Slice index 70 | Axial slice | Image width 240 mm | 240x240
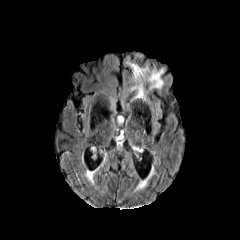
FLAIR MRI.
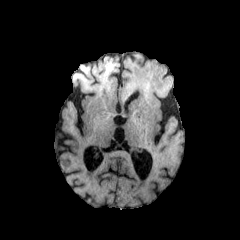
T1-weighted MRI of the same slice.
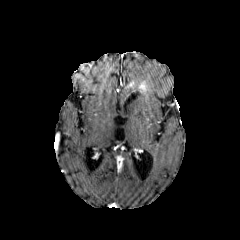
Post-contrast T1-weighted MR of the same slice.
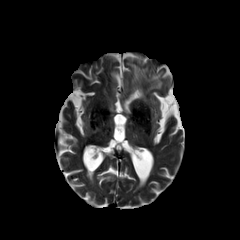
T2-weighted magnetic resonance.
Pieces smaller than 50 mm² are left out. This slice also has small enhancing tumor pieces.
peritumoral edema — [127,62,163,100]